FLAIR magnetic resonance.
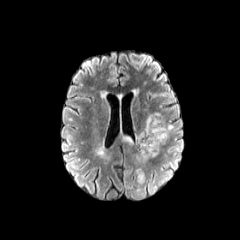
T1-weighted MRI.
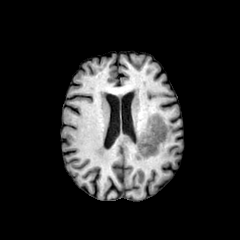
Post-contrast T1-weighted MR image.
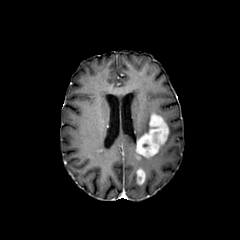
T2-weighted magnetic resonance.
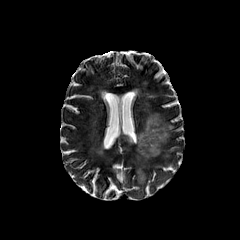
Axial view; Image size 240x240; Head
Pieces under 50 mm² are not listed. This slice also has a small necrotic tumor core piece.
The 2 largest enhancing tumor regions are bounded by rect(137, 169, 145, 184); rect(136, 114, 168, 157). The 2 largest peritumoral edema regions appear at rect(123, 137, 132, 143); rect(136, 115, 150, 146).